Axial view | Brain | Image size 240x240 | Slice 121 of 155
FLAIR MR.
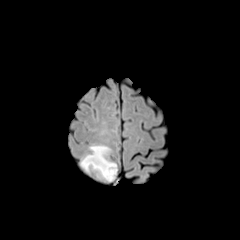
T1-weighted MRI.
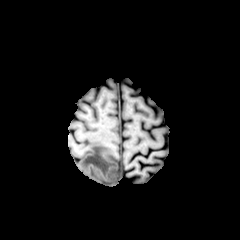
Post-contrast T1-weighted magnetic resonance.
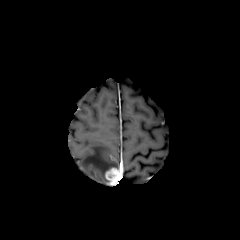
T2-weighted MRI.
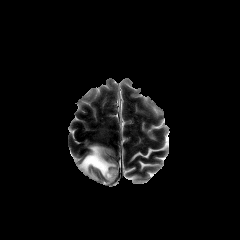
enhancing tumor: bbox(105, 168, 118, 184)
peritumoral edema: bbox(81, 146, 116, 178)